240x240 px, Axial slice, Image width 240 mm, 1.00 mm slice spacing
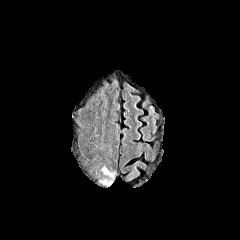
FLAIR MR image.
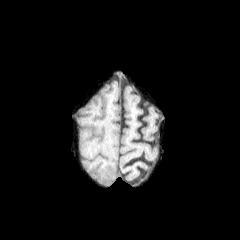
T1-weighted magnetic resonance.
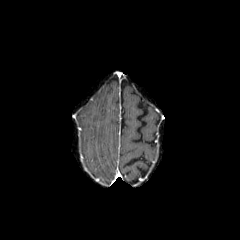
Post-contrast T1-weighted MR.
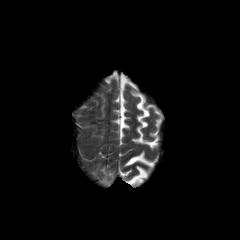
T2-weighted MRI.
Findings:
• peritumoral edema: box=[98, 165, 118, 187]